FLAIR MR.
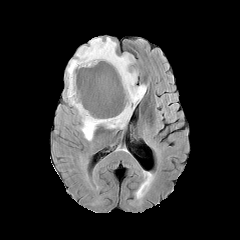
T1-weighted MR.
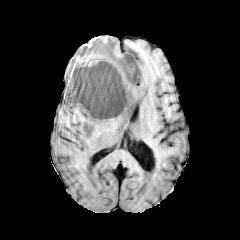
Post-contrast T1-weighted magnetic resonance.
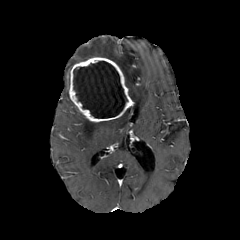
T2-weighted MR.
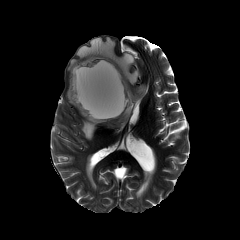
Brain.
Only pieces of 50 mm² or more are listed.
enhancing_tumor:
  - region(67, 57, 134, 122)
peritumoral_edema:
  - region(67, 37, 146, 140)
  - region(66, 89, 77, 109)
necrotic_tumor_core:
  - region(73, 61, 127, 118)